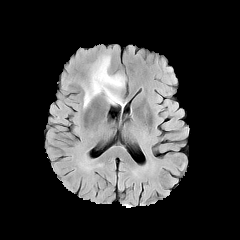
FLAIR MRI.
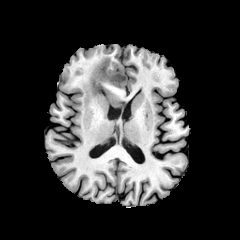
T1-weighted MR.
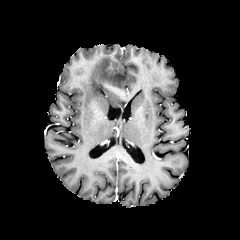
Post-contrast T1-weighted MR of the same slice.
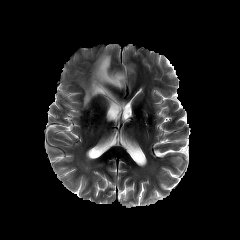
T2-weighted MRI of the same slice.
Brain.
peritumoral_edema:
  - 82, 55, 125, 108